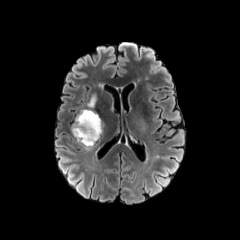
FLAIR MR image.
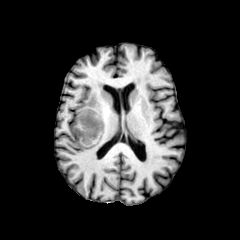
T1-weighted MR of the same slice.
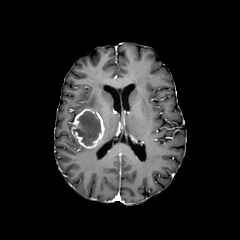
Post-contrast T1-weighted magnetic resonance.
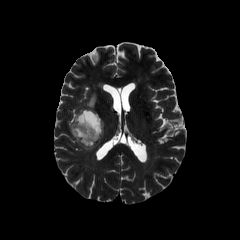
T2-weighted MR.
240x240 px; Axial view
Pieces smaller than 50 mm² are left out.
peritumoral edema — rect(84, 93, 96, 109)
necrotic tumor core — rect(73, 111, 100, 145)
enhancing tumor — rect(71, 109, 103, 148)